FLAIR MR image.
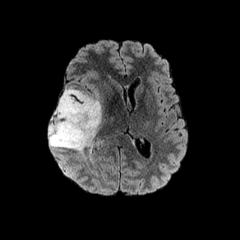
T1-weighted MRI.
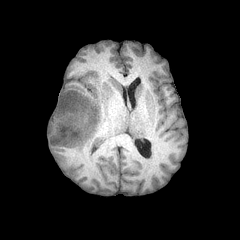
Post-contrast T1-weighted magnetic resonance.
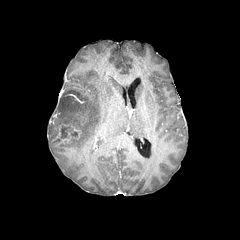
T2-weighted MRI.
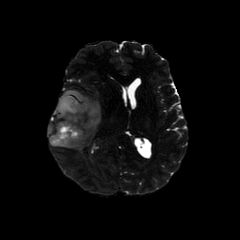
Axial view | 240x240 | Brain
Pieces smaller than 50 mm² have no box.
necrotic tumor core = box=[55, 127, 67, 142]
peritumoral edema = box=[49, 88, 101, 152]
enhancing tumor = box=[53, 124, 81, 144]